Head; Axial slice
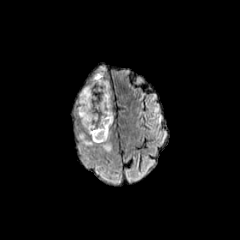
FLAIR MRI.
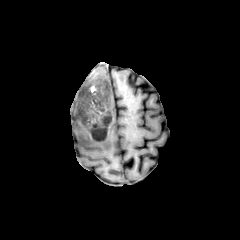
T1-weighted MRI of the same slice.
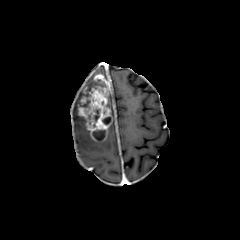
Post-contrast T1-weighted MR of the same slice.
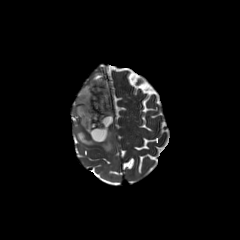
T2-weighted MRI.
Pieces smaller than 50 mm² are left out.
The largest enhancing tumor region appears at 78,74,112,141. The 2 largest peritumoral edema regions are located at 78,127,112,151; 75,67,105,134. The 4 largest necrotic tumor core regions are located at 102,117,110,124; 93,130,105,140; 93,79,105,92; 93,109,99,121.